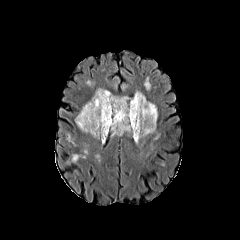
FLAIR magnetic resonance.
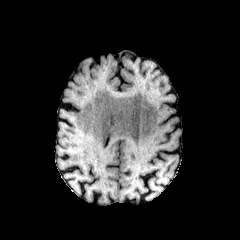
T1-weighted MR image.
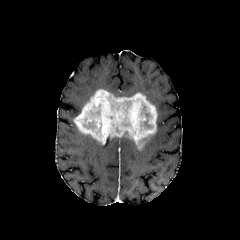
Post-contrast T1-weighted MRI.
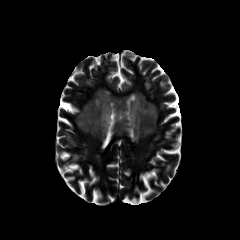
T2-weighted MRI.
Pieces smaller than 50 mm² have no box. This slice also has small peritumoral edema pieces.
enhancing tumor: (x1=74, y1=89, x2=157, y2=146) | necrotic tumor core: (x1=144, y1=111, x2=150, y2=126)